FLAIR MRI.
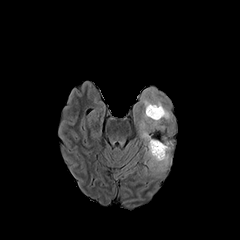
T1-weighted MRI.
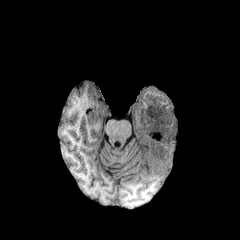
Post-contrast T1-weighted MR.
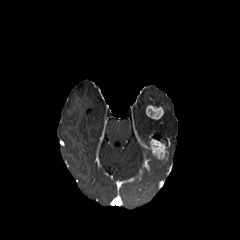
T2-weighted MRI.
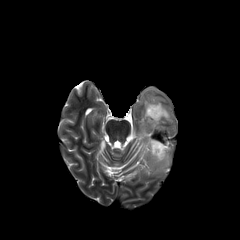
Brain | Axial slice
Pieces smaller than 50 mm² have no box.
The 2 largest peritumoral edema regions are located at box=[148, 150, 169, 171]; box=[136, 87, 176, 138]. 2 enhancing tumor regions appear at box=[149, 139, 167, 159]; box=[146, 105, 163, 119].